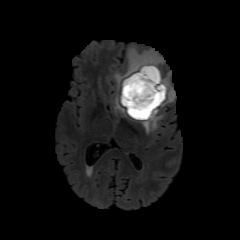
FLAIR magnetic resonance.
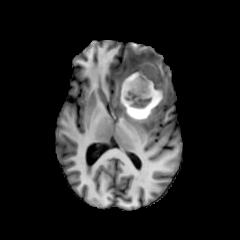
T1-weighted MRI of the same slice.
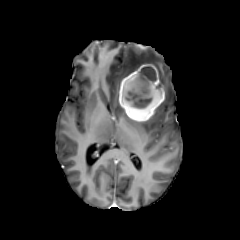
Post-contrast T1-weighted magnetic resonance of the same slice.
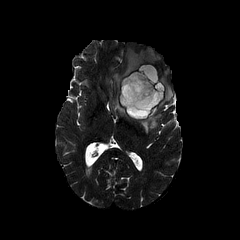
Same slice, T2-weighted MR image.
Brain, 240x240, Axial view
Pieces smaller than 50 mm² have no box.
The enhancing tumor is located at bbox=[119, 64, 164, 121]. The largest necrotic tumor core region appears at bbox=[123, 68, 158, 115]. 2 peritumoral edema regions appear at bbox=[140, 107, 161, 133]; bbox=[113, 47, 175, 115].